FLAIR MR image.
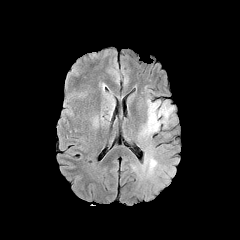
T1-weighted magnetic resonance.
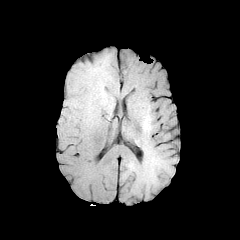
Post-contrast T1-weighted MR image.
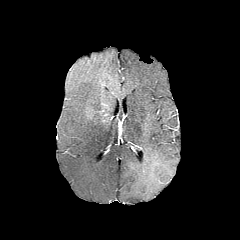
T2-weighted magnetic resonance.
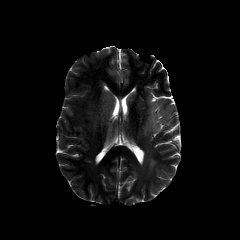
Head | Axial slice
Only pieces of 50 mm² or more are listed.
peritumoral edema: region(89, 108, 111, 123); region(130, 92, 178, 188)